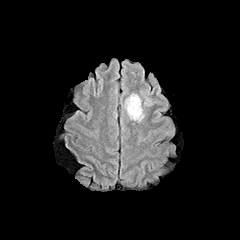
FLAIR MR image.
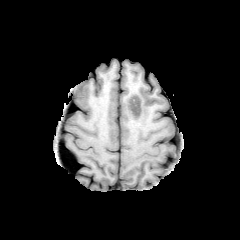
T1-weighted magnetic resonance.
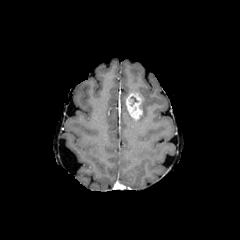
Post-contrast T1-weighted MR image.
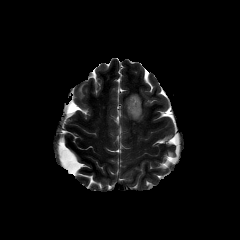
T2-weighted magnetic resonance.
Head
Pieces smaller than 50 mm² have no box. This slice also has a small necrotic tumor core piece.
Segmented structures:
* enhancing tumor: box=[126, 93, 142, 119]
* peritumoral edema: box=[141, 92, 152, 105]